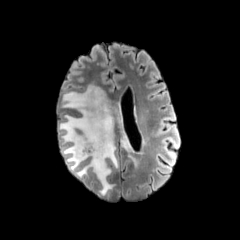
FLAIR MR image.
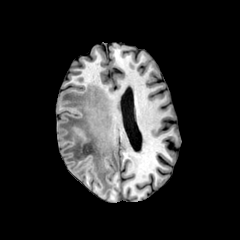
T1-weighted magnetic resonance.
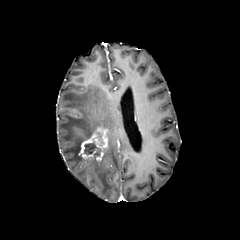
Post-contrast T1-weighted MR image.
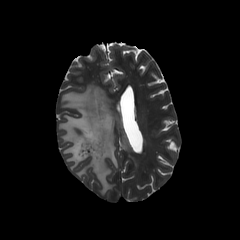
T2-weighted magnetic resonance of the same slice.
Axial slice
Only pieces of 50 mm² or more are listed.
peritumoral edema: [118, 117, 142, 167], [58, 84, 118, 195] | necrotic tumor core: [84, 142, 101, 158] | enhancing tumor: [78, 128, 108, 161]